FLAIR magnetic resonance.
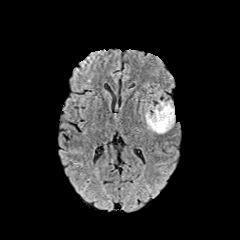
T1-weighted MRI.
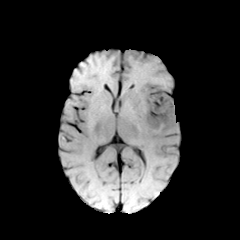
Post-contrast T1-weighted MR.
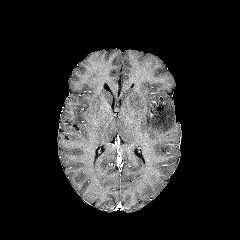
T2-weighted magnetic resonance.
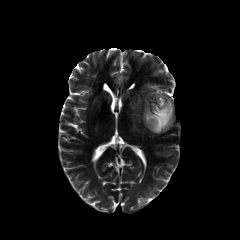
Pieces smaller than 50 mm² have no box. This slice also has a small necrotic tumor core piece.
The peritumoral edema is at region(145, 100, 174, 133).